Slice 68 of 155; Image size 240x240; Brain
FLAIR MR.
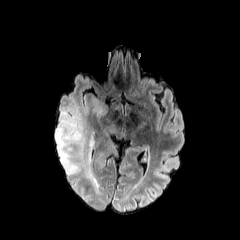
T1-weighted MR.
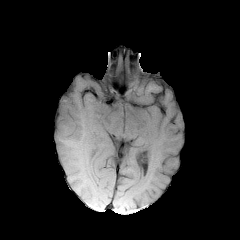
Post-contrast T1-weighted magnetic resonance.
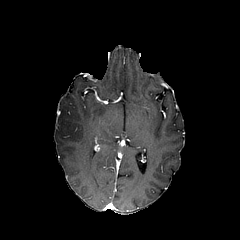
T2-weighted MR image.
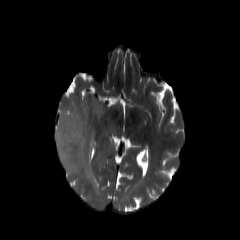
Annotated regions:
* peritumoral edema: box(55, 94, 107, 190); box(72, 179, 79, 191)